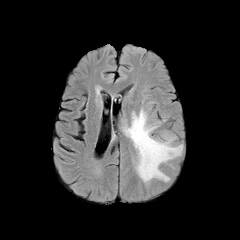
FLAIR MR image.
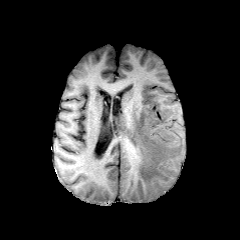
Same slice, T1-weighted MRI.
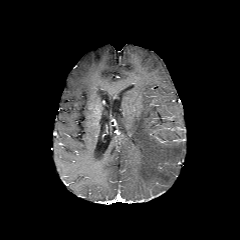
Post-contrast T1-weighted magnetic resonance of the same slice.
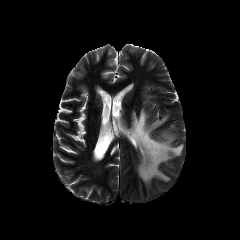
T2-weighted magnetic resonance of the same slice.
Axial slice; Head
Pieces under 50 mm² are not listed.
peritumoral_edema:
  - region(122, 108, 183, 184)